FLAIR MR.
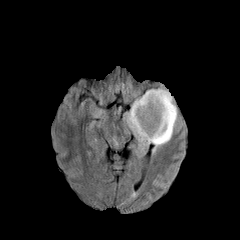
T1-weighted MR.
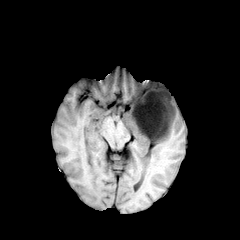
Post-contrast T1-weighted MR.
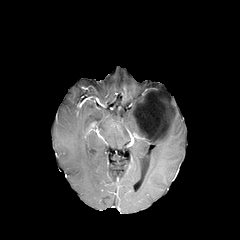
T2-weighted MRI.
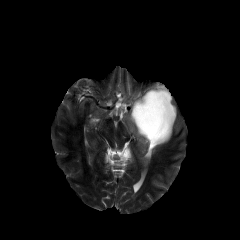
Head
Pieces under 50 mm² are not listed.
The necrotic tumor core appears at 134, 90, 172, 140. The enhancing tumor is located at 132, 88, 174, 142. The largest peritumoral edema region is located at 126, 94, 177, 153.